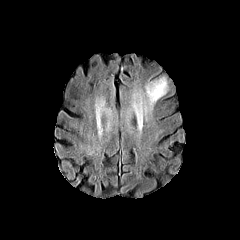
FLAIR MR image.
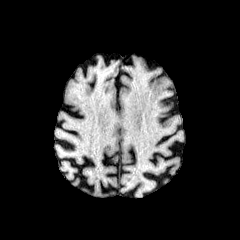
T1-weighted magnetic resonance of the same slice.
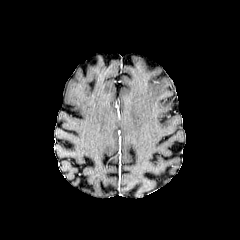
Post-contrast T1-weighted MRI.
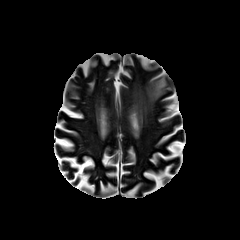
T2-weighted magnetic resonance.
Brain.
peritumoral edema: 132,77,167,119